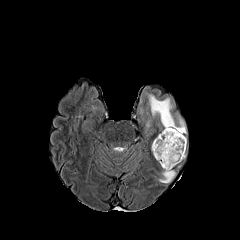
FLAIR MR image.
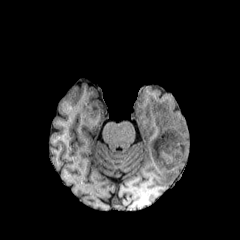
T1-weighted MR image.
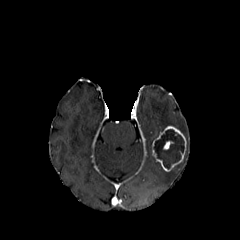
Post-contrast T1-weighted MRI.
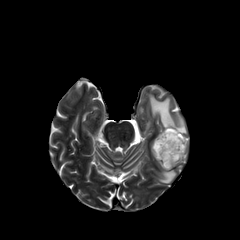
Same slice, T2-weighted MRI.
240x240 px | Axial view
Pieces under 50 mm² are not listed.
<segmentation>
  <peritumoral_edema>bbox(146, 92, 187, 134); bbox(158, 170, 175, 183)</peritumoral_edema>
  <enhancing_tumor>bbox(163, 141, 173, 149); bbox(152, 126, 186, 171)</enhancing_tumor>
  <necrotic_tumor_core>bbox(154, 130, 184, 168)</necrotic_tumor_core>
</segmentation>